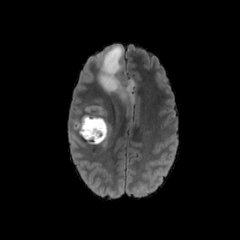
FLAIR magnetic resonance.
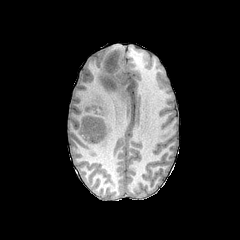
T1-weighted magnetic resonance.
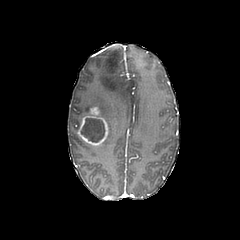
Post-contrast T1-weighted MR.
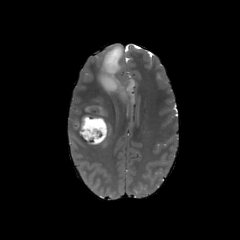
T2-weighted MRI of the same slice.
Axial view.
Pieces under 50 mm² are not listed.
The 2 largest peritumoral edema regions appear at (96, 45, 137, 128), (67, 92, 112, 147). The necrotic tumor core is located at (81, 118, 104, 142). The enhancing tumor is at (77, 107, 108, 145).